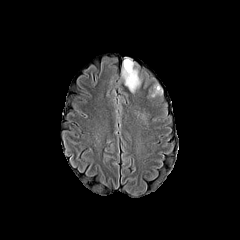
FLAIR MRI.
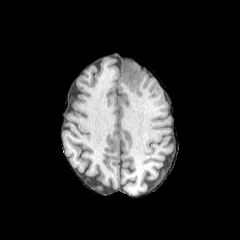
T1-weighted magnetic resonance of the same slice.
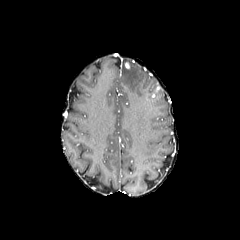
Post-contrast T1-weighted MRI of the same slice.
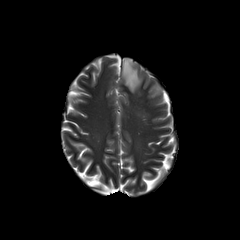
T2-weighted MR of the same slice.
Axial view; Head
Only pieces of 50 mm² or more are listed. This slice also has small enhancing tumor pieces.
Segmented structures:
* peritumoral edema: bbox=[122, 59, 141, 92]